Brain. Image size 240x240. Image covers 240 mm x 240 mm.
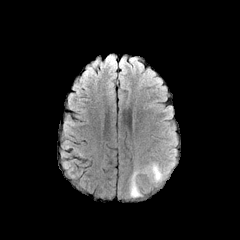
FLAIR MR image.
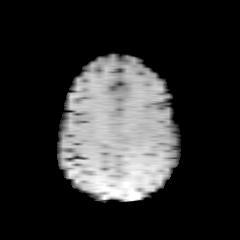
T1-weighted magnetic resonance of the same slice.
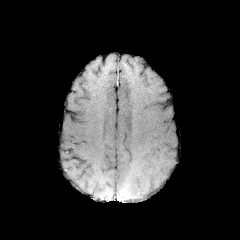
Post-contrast T1-weighted magnetic resonance.
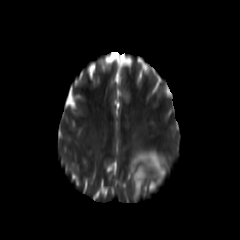
T2-weighted MRI.
The peritumoral edema is at [131, 161, 166, 197].